Axial slice; Slice 93 of 155; Image size 240x240; Image width 240 mm, 1.00 mm slice spacing
FLAIR MR.
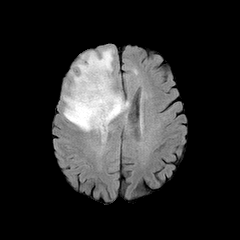
T1-weighted MR image.
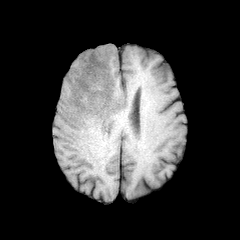
Post-contrast T1-weighted MR image.
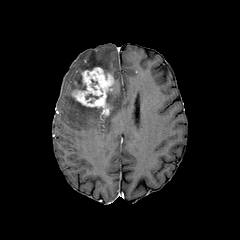
T2-weighted MRI.
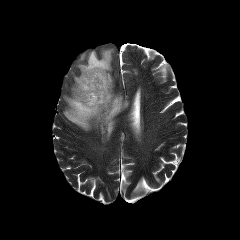
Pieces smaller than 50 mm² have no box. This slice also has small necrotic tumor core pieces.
The enhancing tumor lies within [71,67,114,116]. 2 peritumoral edema regions are bounded by [71,48,113,92], [64,91,128,133].